FLAIR magnetic resonance.
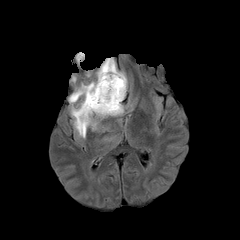
T1-weighted MRI.
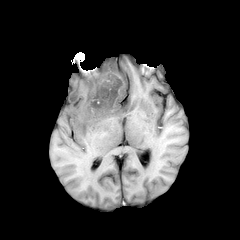
Post-contrast T1-weighted MRI.
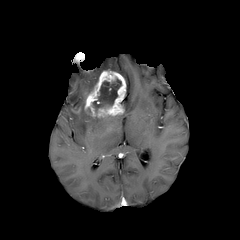
T2-weighted MR image.
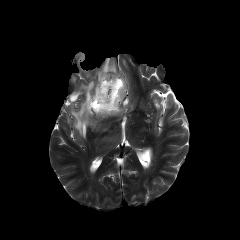
240x240
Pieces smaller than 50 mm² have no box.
Annotated regions:
* necrotic tumor core: {"x1": 92, "y1": 76, "x2": 121, "y2": 113}
* enhancing tumor: {"x1": 70, "y1": 107, "x2": 81, "y2": 114}, {"x1": 84, "y1": 69, "x2": 126, "y2": 118}
* peritumoral edema: {"x1": 71, "y1": 96, "x2": 99, "y2": 138}, {"x1": 68, "y1": 58, "x2": 127, "y2": 106}